Image size 240x240. Image covers 240 mm x 240 mm.
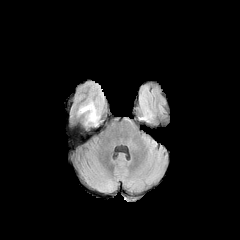
FLAIR MRI.
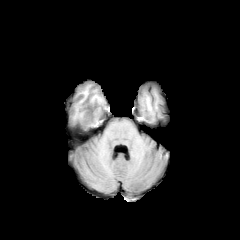
T1-weighted MR image of the same slice.
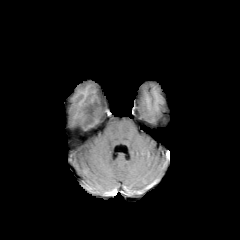
Post-contrast T1-weighted MRI.
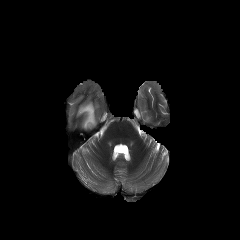
Same slice, T2-weighted MR.
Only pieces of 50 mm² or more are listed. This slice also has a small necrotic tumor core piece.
enhancing tumor at x1=80 y1=113 x2=97 y2=130
peritumoral edema at x1=77 y1=100 x2=100 y2=124